Brain; Axial plane; Slice 109/155
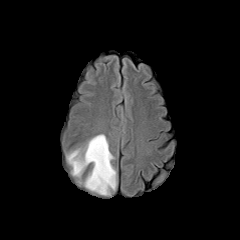
FLAIR MR.
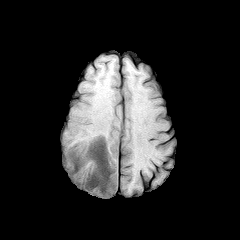
T1-weighted magnetic resonance.
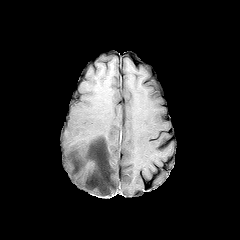
Post-contrast T1-weighted MR.
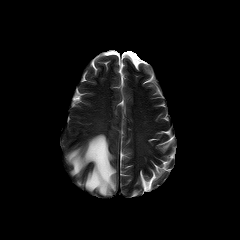
T2-weighted MR of the same slice.
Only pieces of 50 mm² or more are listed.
peritumoral edema = rect(66, 134, 116, 195)